Slice 116/155
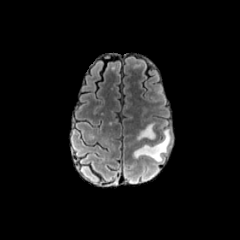
FLAIR magnetic resonance.
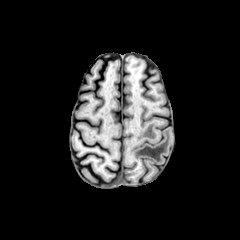
Same slice, T1-weighted magnetic resonance.
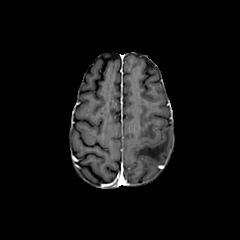
Post-contrast T1-weighted MRI of the same slice.
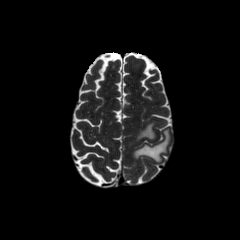
Same slice, T2-weighted MR.
2 peritumoral edema regions are located at box(137, 123, 155, 140); box(133, 129, 170, 162).